240x240 px; Head
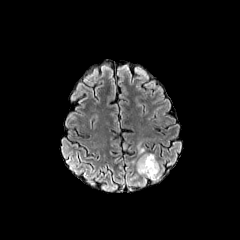
FLAIR MR.
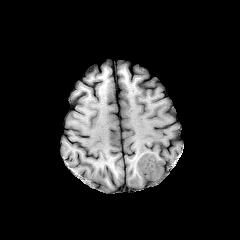
T1-weighted magnetic resonance of the same slice.
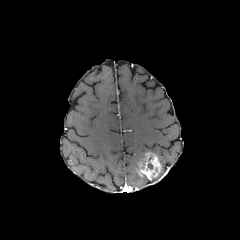
Same slice, post-contrast T1-weighted MR image.
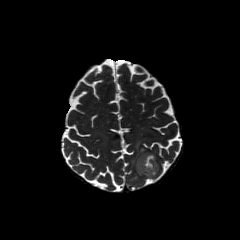
T2-weighted MRI.
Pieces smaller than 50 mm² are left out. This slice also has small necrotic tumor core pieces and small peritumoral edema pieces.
<segmentation>
  <enhancing_tumor>[x1=138, y1=152, x2=161, y2=179]</enhancing_tumor>
</segmentation>